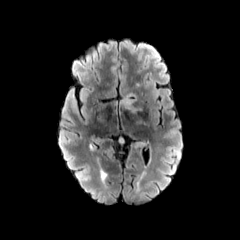
FLAIR MR image.
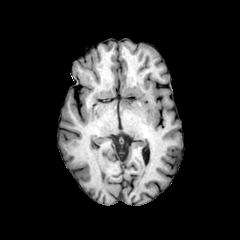
T1-weighted magnetic resonance.
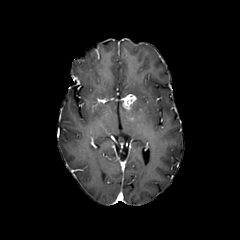
Same slice, post-contrast T1-weighted MR.
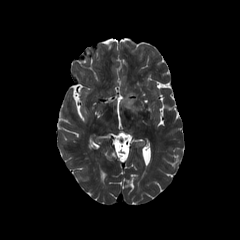
T2-weighted MR.
Head | Axial slice
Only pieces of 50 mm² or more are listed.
peritumoral edema: bounding box region(133, 141, 144, 148)
enhancing tumor: bounding box region(121, 94, 136, 109)